240x240
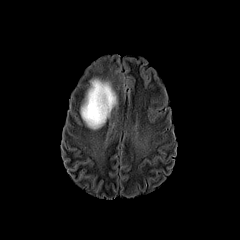
FLAIR MR image.
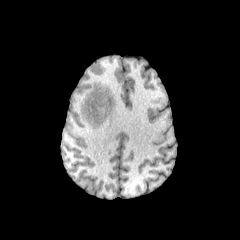
T1-weighted MR image.
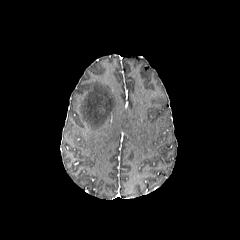
Post-contrast T1-weighted MRI.
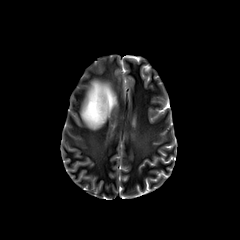
T2-weighted magnetic resonance.
peritumoral_edema:
  - <bbox>79, 76, 118, 129</bbox>